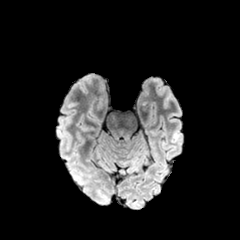
FLAIR MR image.
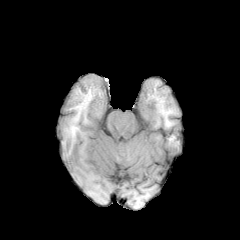
Same slice, T1-weighted MRI.
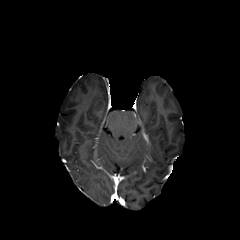
Same slice, post-contrast T1-weighted magnetic resonance.
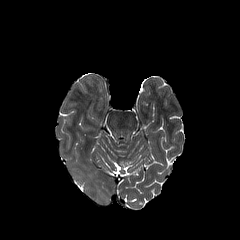
Same slice, T2-weighted MRI.
Head
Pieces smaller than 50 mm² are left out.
* peritumoral edema: (99,191,107,201)